Slice 75 of 155; Head; Image size 240x240
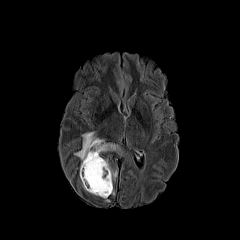
FLAIR MR.
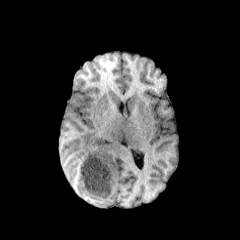
T1-weighted magnetic resonance of the same slice.
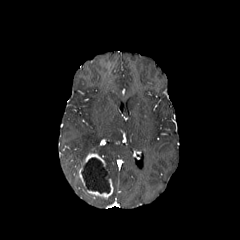
Post-contrast T1-weighted MR image of the same slice.
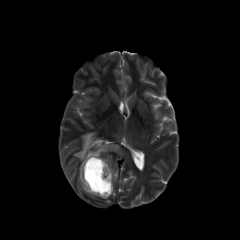
T2-weighted magnetic resonance.
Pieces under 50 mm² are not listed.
The necrotic tumor core lies within l=81, t=158, r=110, b=193. The enhancing tumor appears at l=79, t=152, r=113, b=198. The 2 largest peritumoral edema regions are bounded by l=74, t=132, r=119, b=162; l=105, t=160, r=117, b=179.